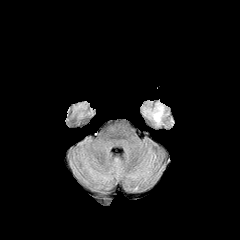
FLAIR magnetic resonance.
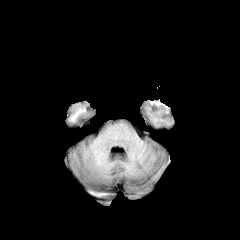
Same slice, T1-weighted MR image.
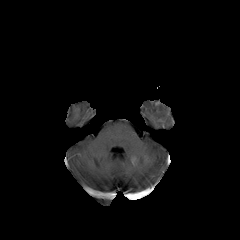
Post-contrast T1-weighted MR.
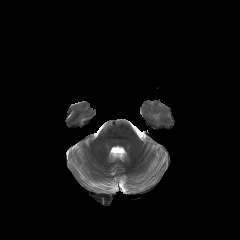
Same slice, T2-weighted MR image.
Brain | Axial slice
The peritumoral edema lies within x1=153, y1=105, x2=162, y2=122.